FLAIR magnetic resonance.
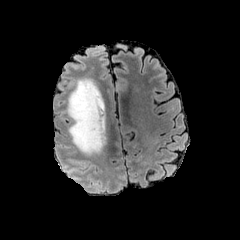
T1-weighted MRI.
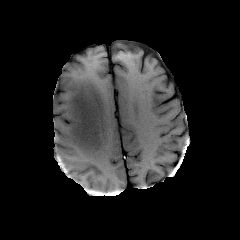
Post-contrast T1-weighted magnetic resonance.
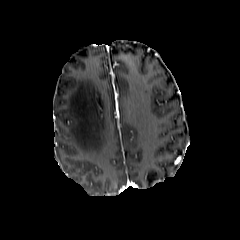
T2-weighted MRI.
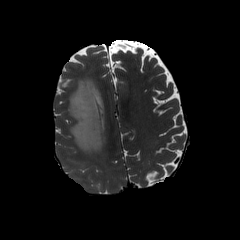
Axial plane, 240x240 px
Annotated regions:
• peritumoral edema: [x1=67, y1=78, x2=105, y2=155]